Slice index 38, Head
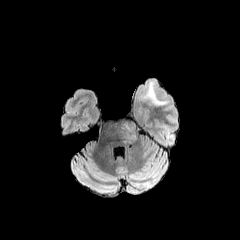
FLAIR MRI.
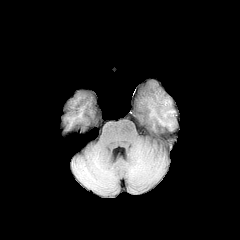
Same slice, T1-weighted MR.
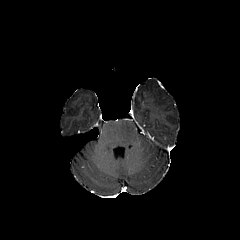
Post-contrast T1-weighted magnetic resonance of the same slice.
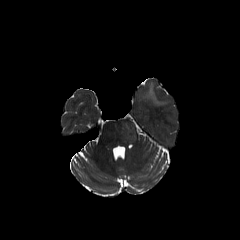
T2-weighted magnetic resonance.
peritumoral edema — <bbox>123, 121, 136, 140</bbox>, <bbox>146, 82, 165, 105</bbox>